Slice index 118, Image width 240 mm, 1.00 mm slice spacing, 240x240, Brain
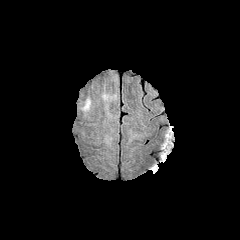
FLAIR MR.
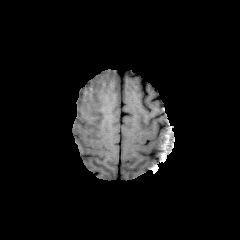
T1-weighted magnetic resonance of the same slice.
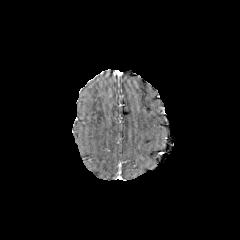
Same slice, post-contrast T1-weighted magnetic resonance.
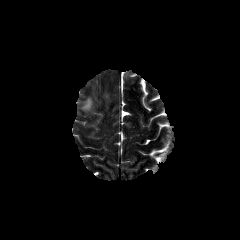
Same slice, T2-weighted MR.
2 peritumoral edema regions are bounded by box=[102, 93, 110, 100]; box=[81, 98, 91, 111].